FLAIR MR image.
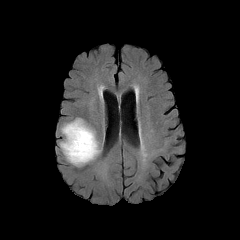
T1-weighted magnetic resonance.
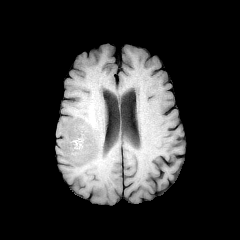
Post-contrast T1-weighted MR.
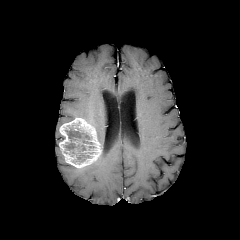
T2-weighted MRI.
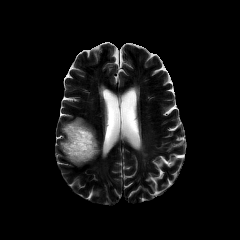
Head
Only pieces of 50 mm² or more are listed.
necrotic tumor core = rect(64, 125, 92, 163)
enhancing tumor = rect(59, 117, 101, 168)